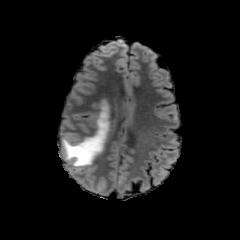
FLAIR MR image.
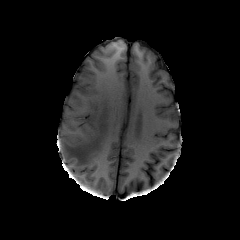
T1-weighted magnetic resonance.
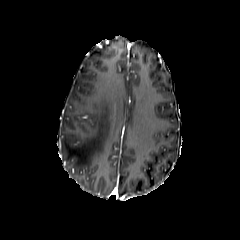
Post-contrast T1-weighted MR.
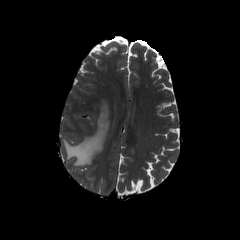
Same slice, T2-weighted MRI.
Head, Image size 240x240
peritumoral edema: rect(62, 100, 109, 167)